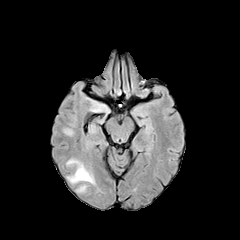
FLAIR MR.
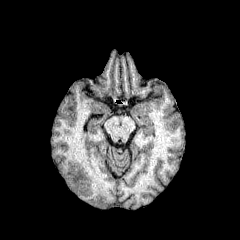
T1-weighted MRI of the same slice.
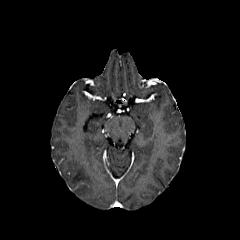
Post-contrast T1-weighted MRI.
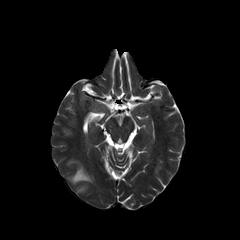
T2-weighted MR image.
Axial view; Head
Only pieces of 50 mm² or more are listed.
Annotated regions:
• peritumoral edema: <box>63,128,73,135</box>, <box>67,159,94,183</box>